FLAIR MR image.
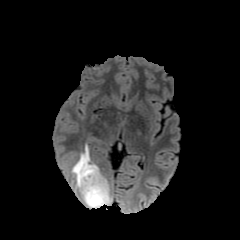
T1-weighted MR image.
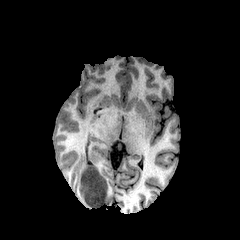
Post-contrast T1-weighted MR.
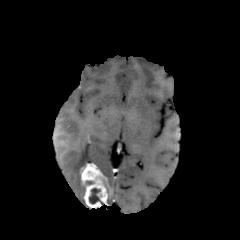
T2-weighted magnetic resonance.
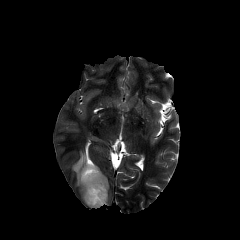
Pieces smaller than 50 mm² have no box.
{"enhancing_tumor": ["box(80, 163, 110, 208)"], "peritumoral_edema": ["box(107, 186, 112, 205)", "box(72, 145, 89, 198)"], "necrotic_tumor_core": ["box(89, 188, 100, 203)"]}